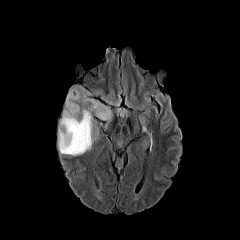
FLAIR MR.
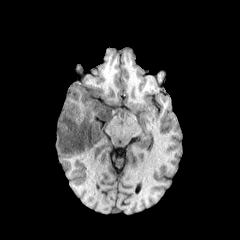
T1-weighted MR of the same slice.
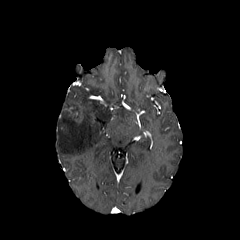
Same slice, post-contrast T1-weighted MRI.
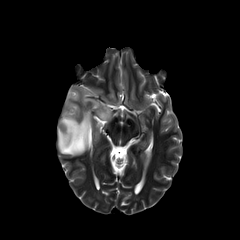
T2-weighted MRI of the same slice.
The peritumoral edema is located at 58, 88, 111, 156.